Image size 240x240, Axial plane
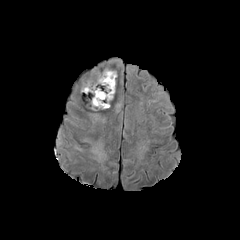
FLAIR MRI.
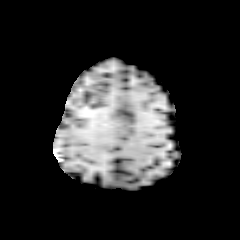
Same slice, T1-weighted MR.
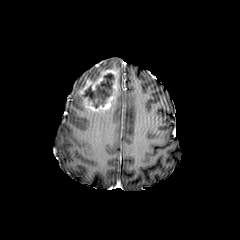
Post-contrast T1-weighted MRI.
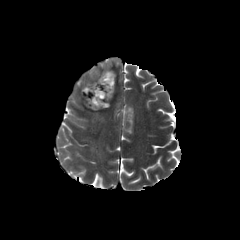
T2-weighted MR.
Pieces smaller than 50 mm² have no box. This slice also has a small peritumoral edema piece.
{
  "necrotic_tumor_core": [
    "(85,73,114,108)"
  ],
  "enhancing_tumor": [
    "(79,70,119,110)"
  ]
}